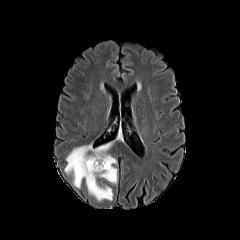
FLAIR MR image.
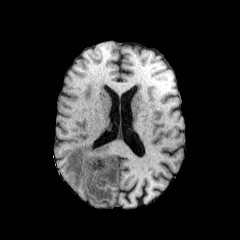
T1-weighted MRI of the same slice.
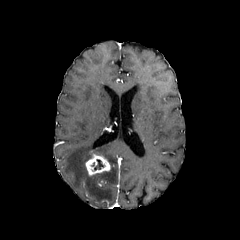
Post-contrast T1-weighted MR of the same slice.
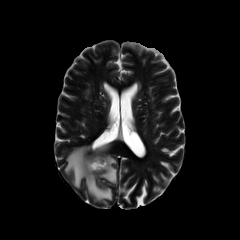
T2-weighted MR.
Brain, Axial view
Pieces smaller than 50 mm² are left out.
enhancing tumor: bbox=[85, 154, 110, 175]
peritumoral edema: bbox=[64, 141, 117, 201]
necrotic tumor core: bbox=[94, 159, 104, 170]